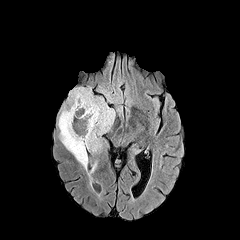
FLAIR MR.
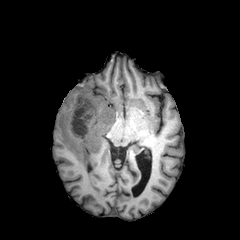
T1-weighted MRI.
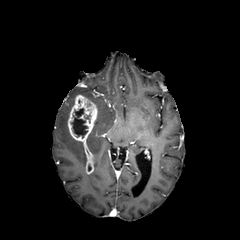
Post-contrast T1-weighted MR of the same slice.
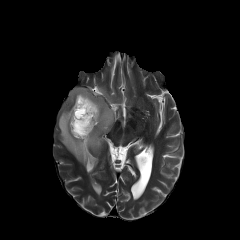
T2-weighted MR.
Brain. Axial plane.
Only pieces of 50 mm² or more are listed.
The 2 largest peritumoral edema regions appear at (left=58, top=87, right=115, bottom=167), (left=99, top=87, right=113, bottom=102). The largest necrotic tumor core region is bounded by (left=71, top=108, right=87, bottom=137). The largest enhancing tumor region is bounded by (left=68, top=95, right=97, bottom=150).